FLAIR magnetic resonance.
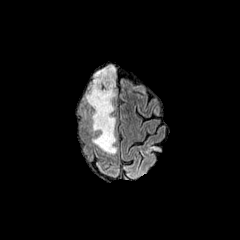
T1-weighted magnetic resonance.
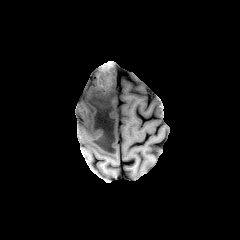
Post-contrast T1-weighted magnetic resonance.
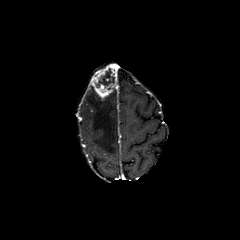
T2-weighted magnetic resonance.
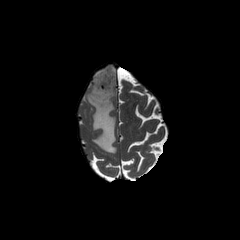
Image size 240x240, Head, Axial view
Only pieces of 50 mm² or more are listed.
peritumoral edema = left=85, top=86, right=116, bottom=153
enhancing tumor = left=90, top=64, right=116, bottom=100
necrotic tumor core = left=96, top=68, right=114, bottom=87